Slice index 108 | Head | Axial slice
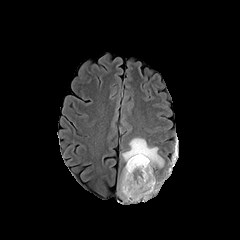
FLAIR MR image.
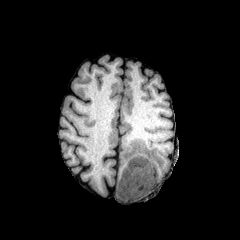
T1-weighted MRI of the same slice.
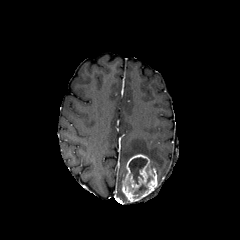
Post-contrast T1-weighted MR image.
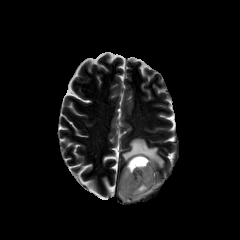
T2-weighted MRI.
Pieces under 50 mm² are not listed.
The enhancing tumor is bounded by bbox=[121, 154, 158, 202]. The 2 largest necrotic tumor core regions are bounded by bbox=[134, 184, 147, 193]; bbox=[129, 157, 147, 184]. 2 peritumoral edema regions appear at bbox=[118, 167, 126, 200]; bbox=[122, 138, 164, 167].